FLAIR MRI.
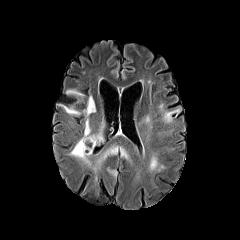
T1-weighted MR.
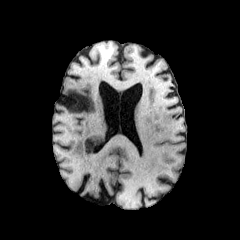
Post-contrast T1-weighted magnetic resonance.
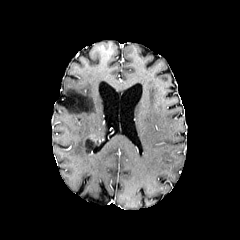
T2-weighted MR image.
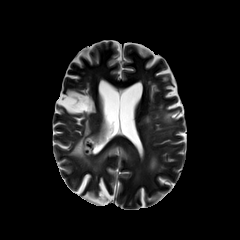
Image size 240x240, Head, Axial view
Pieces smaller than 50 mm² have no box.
peritumoral edema: bounding box rect(119, 146, 130, 160); rect(83, 95, 95, 116); rect(106, 167, 117, 179); rect(144, 114, 152, 127); rect(66, 89, 84, 101); rect(70, 118, 104, 166); rect(62, 105, 80, 116); rect(96, 144, 117, 166); rect(163, 108, 179, 123); rect(148, 155, 165, 171)
necrotic tumor core: bounding box rect(85, 140, 93, 152)